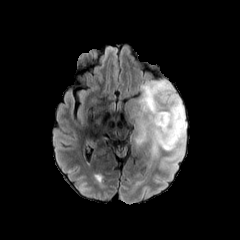
FLAIR magnetic resonance.
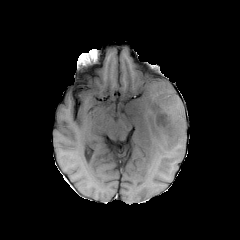
T1-weighted MR.
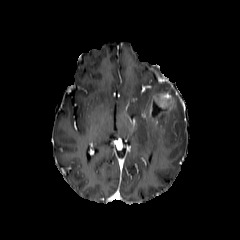
Post-contrast T1-weighted MR.
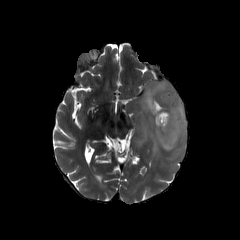
T2-weighted MR of the same slice.
Brain
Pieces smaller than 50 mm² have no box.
enhancing tumor: bounding box [149,91,176,124]
peritumoral edema: bounding box [130,79,186,155]
necrotic tumor core: bounding box [152,103,164,116]